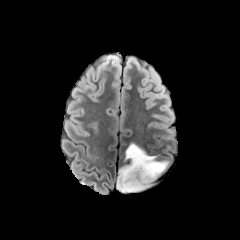
FLAIR MR image.
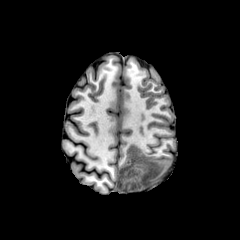
T1-weighted MR.
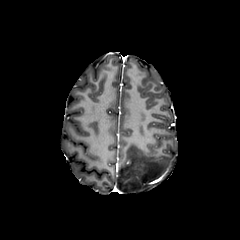
Post-contrast T1-weighted MR image.
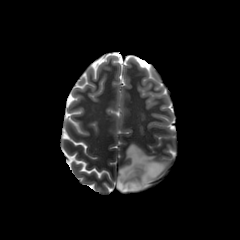
T2-weighted MR image.
Brain | Axial plane
The peritumoral edema is located at [117,143,168,192].